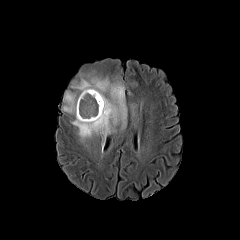
FLAIR magnetic resonance.
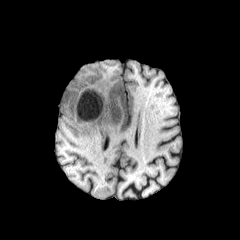
Same slice, T1-weighted magnetic resonance.
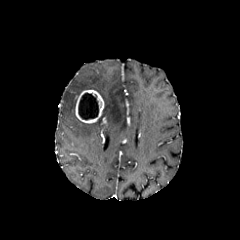
Post-contrast T1-weighted magnetic resonance.
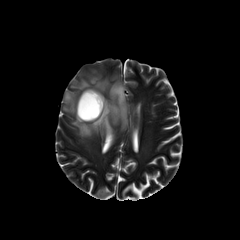
T2-weighted MR.
Axial plane
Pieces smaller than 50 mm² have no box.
necrotic tumor core = bbox=[78, 93, 98, 119]
peritumoral edema = bbox=[62, 65, 126, 140]
enhancing tumor = bbox=[75, 89, 104, 123]